Slice 79/155
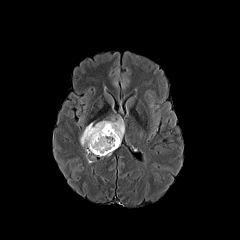
FLAIR MR.
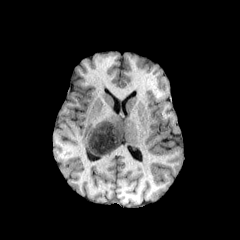
T1-weighted MRI of the same slice.
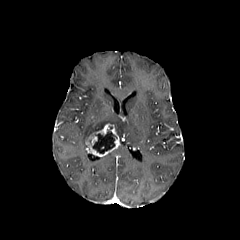
Same slice, post-contrast T1-weighted MR.
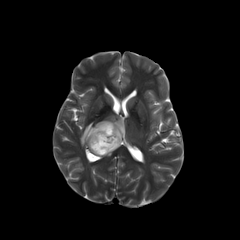
T2-weighted MR image.
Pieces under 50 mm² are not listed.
enhancing tumor — [x1=86, y1=123, x2=119, y2=156]
peritumoral edema — [x1=80, y1=118, x2=124, y2=147]
necrotic tumor core — [x1=92, y1=129, x2=115, y2=153]